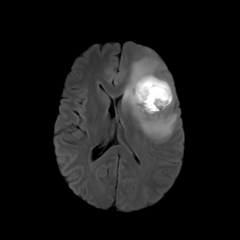
FLAIR MR.
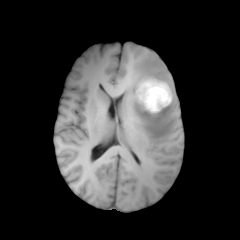
T1-weighted magnetic resonance.
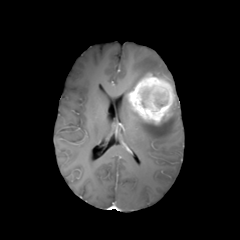
Same slice, post-contrast T1-weighted MR image.
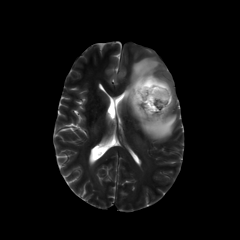
T2-weighted MR image.
Brain. Image size 240x240.
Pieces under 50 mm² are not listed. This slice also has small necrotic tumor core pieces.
peritumoral edema: (x1=122, y1=56, x2=177, y2=141) | enhancing tumor: (x1=127, y1=73, x2=174, y2=124)